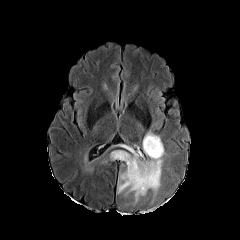
FLAIR MR image.
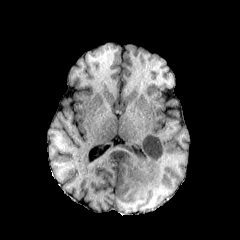
Same slice, T1-weighted magnetic resonance.
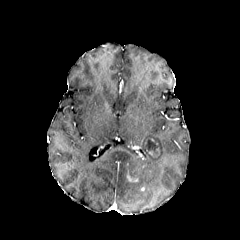
Same slice, post-contrast T1-weighted MRI.
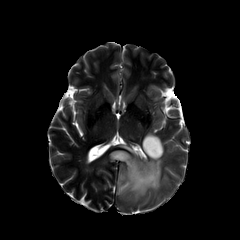
T2-weighted MR.
Axial view, Image size 240x240
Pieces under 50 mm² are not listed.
{
  "enhancing_tumor": [
    "<box>127,172,138,182</box>"
  ],
  "necrotic_tumor_core": [
    "<box>146,138,160,156</box>",
    "<box>128,165,140,179</box>"
  ],
  "peritumoral_edema": [
    "<box>110,131,164,201</box>"
  ]
}